FLAIR MRI.
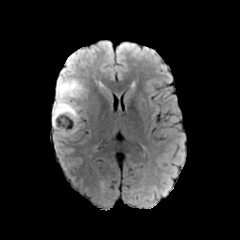
T1-weighted MRI.
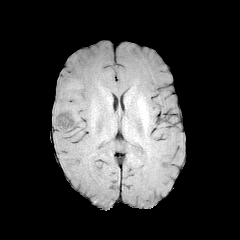
Post-contrast T1-weighted magnetic resonance.
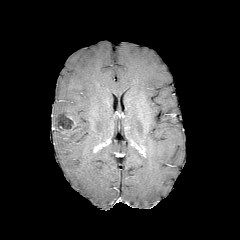
T2-weighted magnetic resonance.
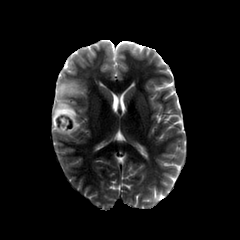
Head
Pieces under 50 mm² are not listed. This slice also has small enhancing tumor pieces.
Annotated regions:
- necrotic tumor core: bbox=[55, 112, 73, 131]
- peritumoral edema: bbox=[52, 76, 87, 138]